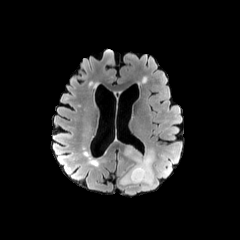
FLAIR magnetic resonance.
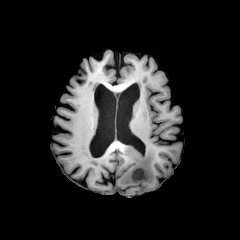
Same slice, T1-weighted MR image.
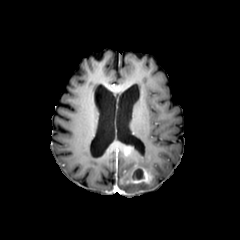
Post-contrast T1-weighted MR.
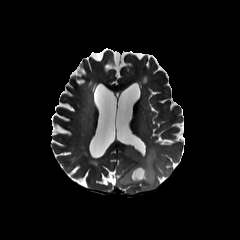
Same slice, T2-weighted MR image.
Head. Axial view.
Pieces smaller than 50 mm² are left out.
enhancing tumor at 123 146 135 156, 119 159 153 186
peritumoral edema at 117 146 158 195
necrotic tumor core at 132 168 143 179